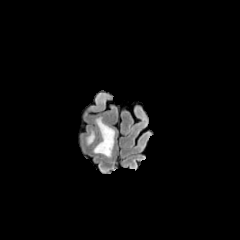
FLAIR magnetic resonance.
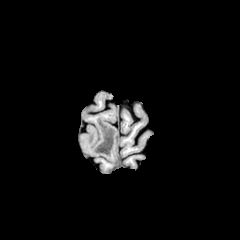
T1-weighted MRI.
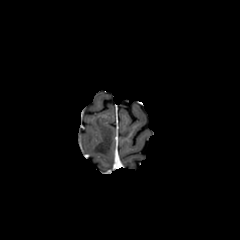
Post-contrast T1-weighted MR image of the same slice.
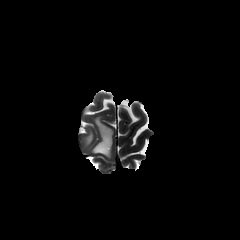
T2-weighted MR.
Axial view
• peritumoral edema: [93,117,114,157], [86,132,94,144]